FLAIR magnetic resonance.
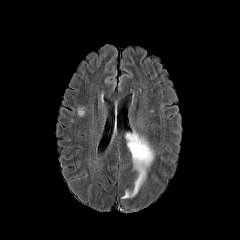
T1-weighted MR image.
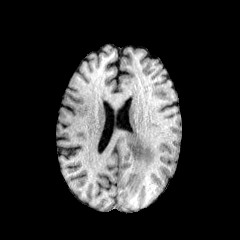
Post-contrast T1-weighted magnetic resonance.
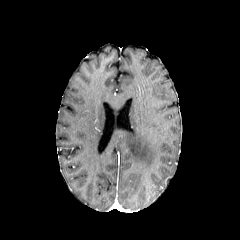
T2-weighted MR image.
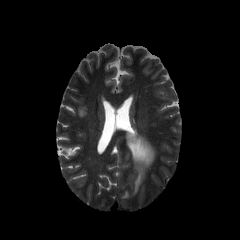
Head; Axial view
The peritumoral edema lies within {"x1": 121, "y1": 131, "x2": 154, "y2": 199}.